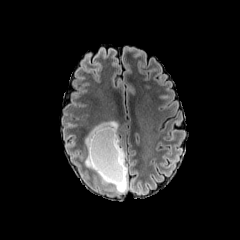
FLAIR MR image.
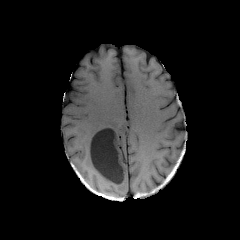
T1-weighted magnetic resonance.
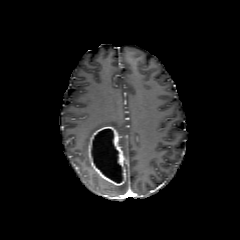
Same slice, post-contrast T1-weighted MR.
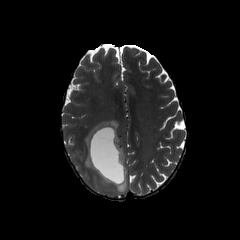
T2-weighted MR of the same slice.
Head, Image size 240x240
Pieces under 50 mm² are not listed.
<segmentation>
  <enhancing_tumor>(88,126,126,185)</enhancing_tumor>
  <necrotic_tumor_core>(91,129,123,183)</necrotic_tumor_core>
  <peritumoral_edema>(85,121,127,192)</peritumoral_edema>
</segmentation>